Slice 89/155; Brain
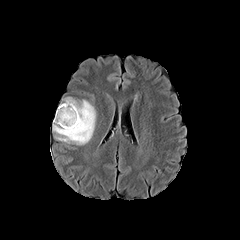
FLAIR MR image.
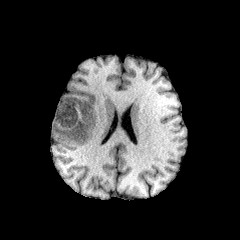
T1-weighted MR.
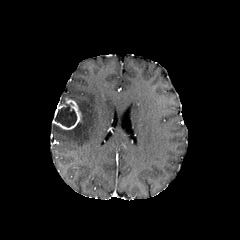
Post-contrast T1-weighted MR image.
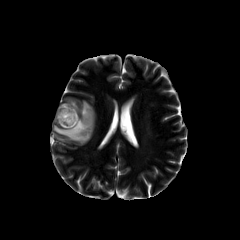
T2-weighted magnetic resonance.
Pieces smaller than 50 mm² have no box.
The necrotic tumor core is at 55, 103, 76, 127. The largest peritumoral edema region is bounded by 53, 97, 96, 145. The enhancing tumor is bounded by 53, 98, 81, 129.